Axial slice
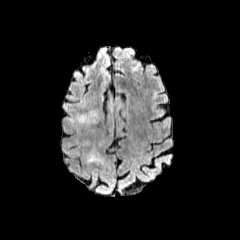
FLAIR MR image.
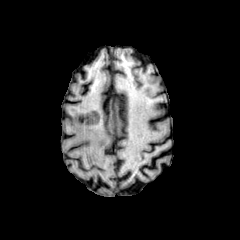
Same slice, T1-weighted MR image.
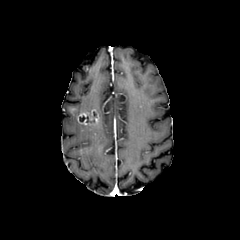
Post-contrast T1-weighted MR image of the same slice.
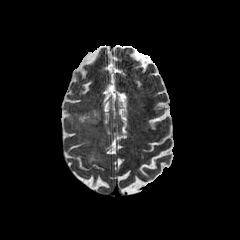
T2-weighted MR of the same slice.
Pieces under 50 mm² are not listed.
enhancing tumor: (left=77, top=109, right=99, bottom=125) | peritumoral edema: (left=86, top=143, right=105, bottom=163) | necrotic tumor core: (left=79, top=116, right=94, bottom=122)